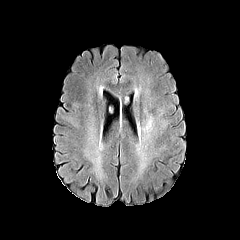
FLAIR MR image.
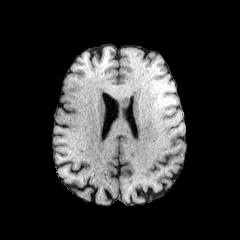
T1-weighted magnetic resonance.
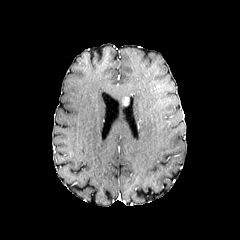
Post-contrast T1-weighted MR.
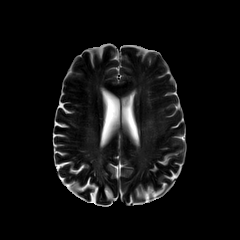
T2-weighted MR image.
Head. Axial view.
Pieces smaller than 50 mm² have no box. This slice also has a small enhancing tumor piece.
The largest peritumoral edema region is located at bbox(142, 116, 153, 140).